Image size 240x240; Axial plane
FLAIR MR.
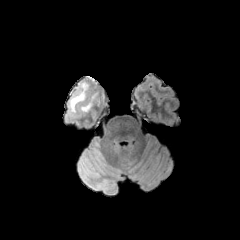
T1-weighted MR image.
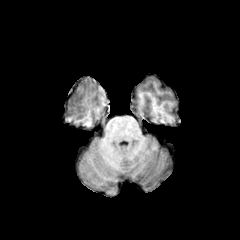
Post-contrast T1-weighted magnetic resonance.
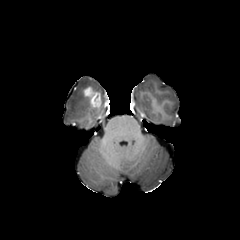
T2-weighted MR.
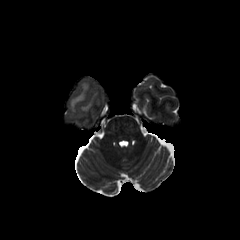
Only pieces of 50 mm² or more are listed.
peritumoral edema: bounding box 69,80,92,112
enhancing tumor: bounding box 83,86,101,107